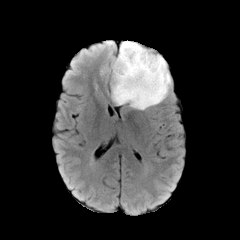
FLAIR magnetic resonance.
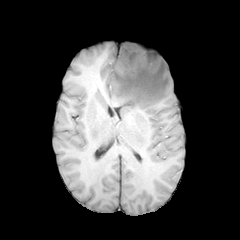
Same slice, T1-weighted magnetic resonance.
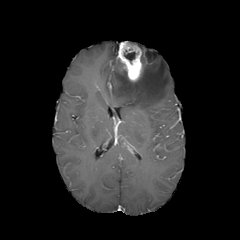
Same slice, post-contrast T1-weighted MR image.
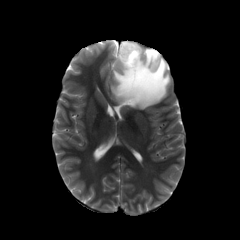
T2-weighted MR image of the same slice.
Head.
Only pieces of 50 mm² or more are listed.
necrotic tumor core = [124, 52, 135, 61]
peritumoral edema = [112, 45, 171, 109]
enhancing tumor = [117, 41, 144, 81]